Image width 240 mm. 240x240. Slice 112/155.
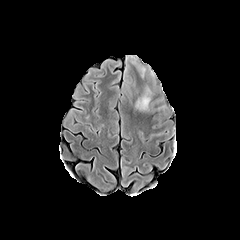
FLAIR magnetic resonance.
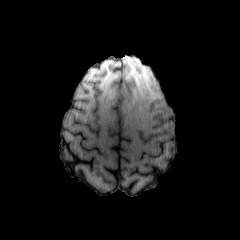
T1-weighted MR.
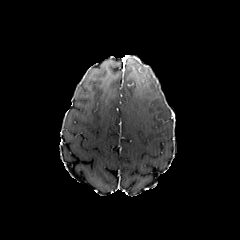
Post-contrast T1-weighted MR of the same slice.
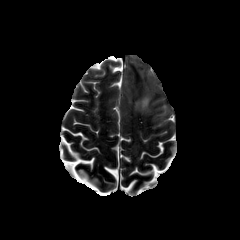
T2-weighted magnetic resonance.
The peritumoral edema is at region(141, 98, 148, 108).